Image covers 240 mm x 240 mm | Head
FLAIR MR image.
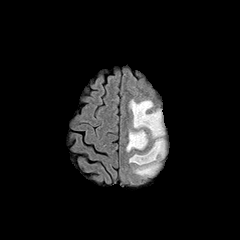
T1-weighted MR.
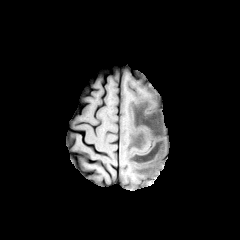
Post-contrast T1-weighted magnetic resonance.
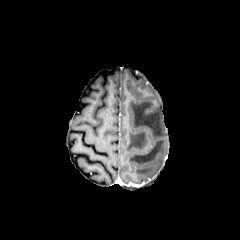
T2-weighted MR image.
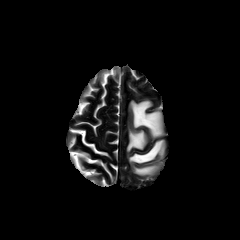
peritumoral edema at [126,130,148,152], [129,100,165,176]